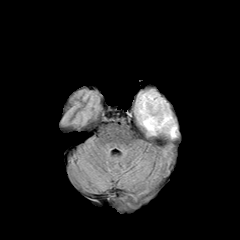
FLAIR MRI.
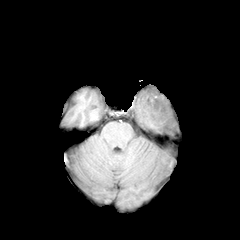
T1-weighted MRI of the same slice.
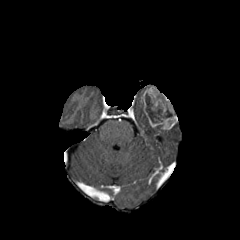
Post-contrast T1-weighted magnetic resonance.
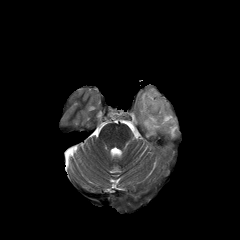
Same slice, T2-weighted MR image.
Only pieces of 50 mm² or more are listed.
necrotic tumor core: bounding box bbox(145, 94, 172, 123)
enhancing tumor: bounding box bbox(141, 86, 177, 130)
peritumoral edema: bounding box bbox(136, 91, 177, 137)